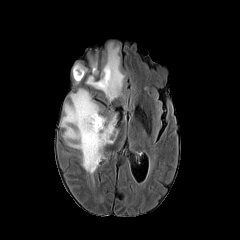
FLAIR MRI.
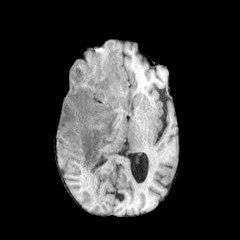
T1-weighted MR.
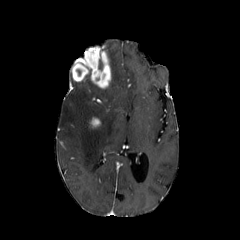
Same slice, post-contrast T1-weighted MRI.
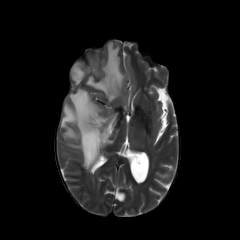
T2-weighted MRI of the same slice.
Brain
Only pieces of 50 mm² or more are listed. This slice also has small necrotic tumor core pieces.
The 2 largest peritumoral edema regions are bounded by 86:43:124:101, 60:88:118:173. 3 enhancing tumor regions are located at 71:63:88:81, 89:117:100:127, 75:47:111:88.